FLAIR MR image.
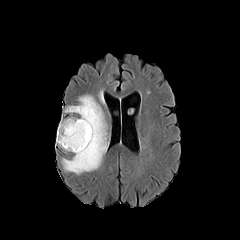
T1-weighted MR image.
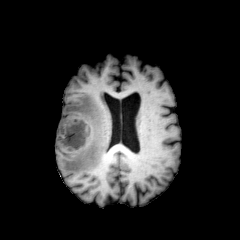
Post-contrast T1-weighted MR image.
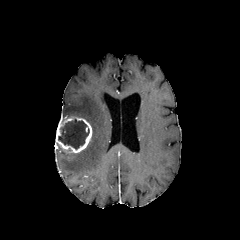
T2-weighted MR.
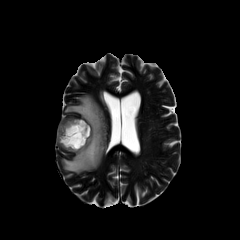
Axial view. 240x240.
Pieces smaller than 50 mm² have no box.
peritumoral edema: bounding box x1=61 y1=95 x2=108 y2=174
necrotic tumor core: bounding box x1=58 y1=119 x2=89 y2=149
enhancing tumor: bounding box x1=55 y1=116 x2=92 y2=153